Slice 72/155. 240x240. Image width 240 mm.
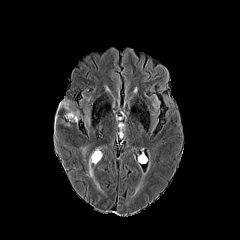
FLAIR MR image.
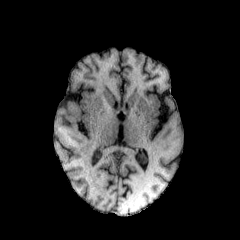
T1-weighted magnetic resonance of the same slice.
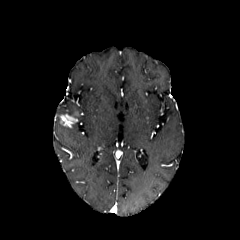
Same slice, post-contrast T1-weighted MR image.
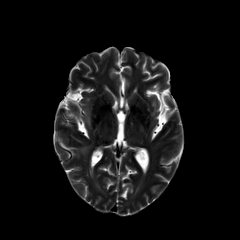
Same slice, T2-weighted MRI.
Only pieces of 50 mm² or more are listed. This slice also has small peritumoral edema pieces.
enhancing tumor — (left=61, top=111, right=78, bottom=127)